FLAIR MRI.
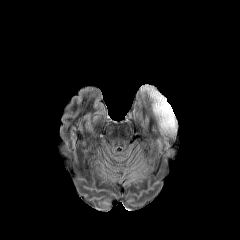
T1-weighted MR.
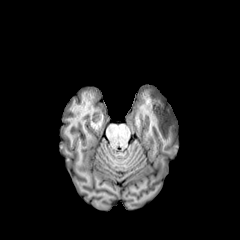
Post-contrast T1-weighted magnetic resonance.
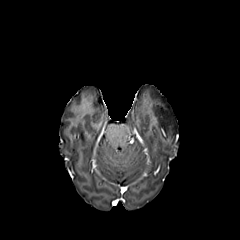
T2-weighted MR.
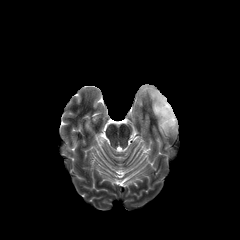
Axial slice, 240x240
The peritumoral edema is bounded by left=148, top=88, right=176, bottom=133.